FLAIR MR.
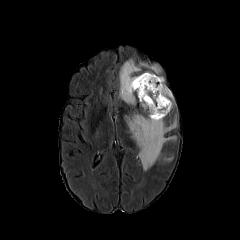
T1-weighted MRI.
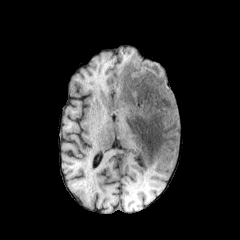
Post-contrast T1-weighted MRI.
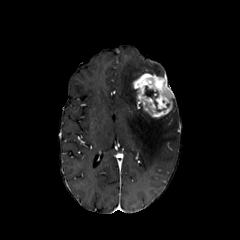
T2-weighted magnetic resonance.
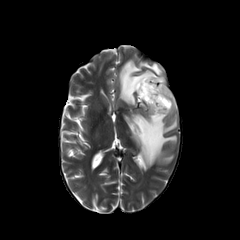
Brain, 240x240
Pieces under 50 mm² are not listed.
enhancing tumor — l=132, t=73, r=174, b=117
peritumoral edema — l=119, t=59, r=162, b=105; l=125, t=112, r=177, b=170
necrotic tumor core — l=145, t=86, r=157, b=97